Axial plane. Slice 115 of 155.
FLAIR MRI.
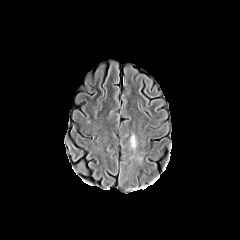
T1-weighted MR image.
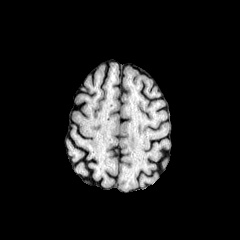
Post-contrast T1-weighted MR.
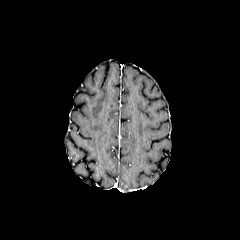
T2-weighted MR image.
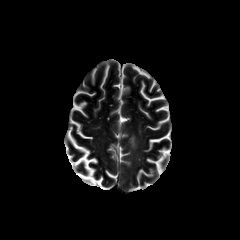
peritumoral edema: (left=130, top=135, right=136, bottom=148)